Head, Image width 240 mm, Axial view
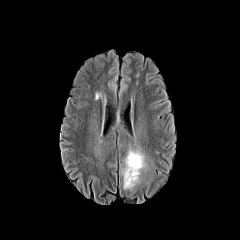
FLAIR magnetic resonance.
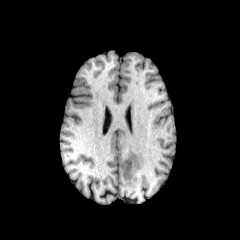
Same slice, T1-weighted MR.
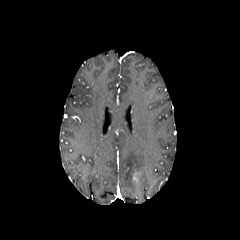
Same slice, post-contrast T1-weighted MR.
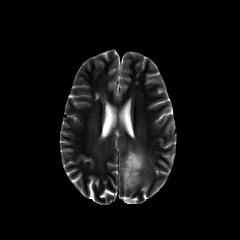
T2-weighted MRI.
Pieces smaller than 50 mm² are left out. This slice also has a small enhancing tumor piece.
peritumoral edema — bbox(121, 149, 146, 189)